Axial view, Image size 240x240
FLAIR MRI.
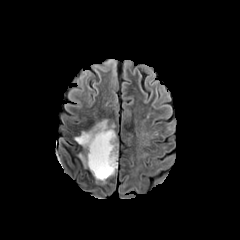
T1-weighted magnetic resonance.
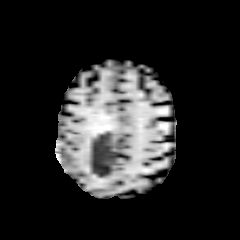
Post-contrast T1-weighted MRI.
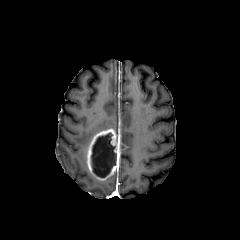
T2-weighted MR.
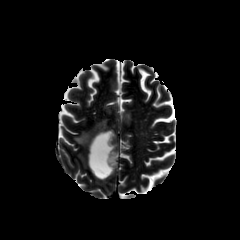
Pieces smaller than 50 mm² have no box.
Findings:
• peritumoral edema: <box>75,120,114,147</box>, <box>78,153,87,167</box>
• necrotic tumor core: <box>91,133,116,177</box>
• enhancing tumor: <box>87,128,119,180</box>